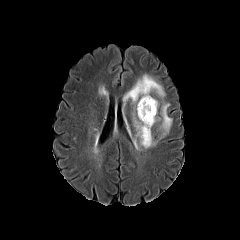
FLAIR MR.
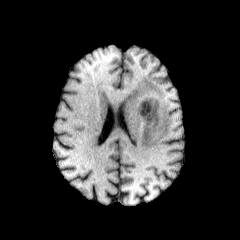
Same slice, T1-weighted MR image.
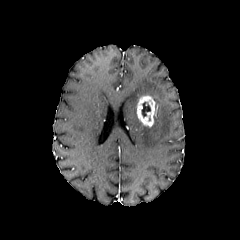
Same slice, post-contrast T1-weighted MR image.
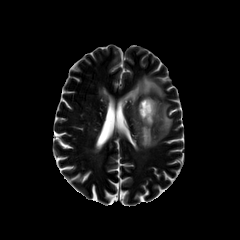
T2-weighted MR.
Axial view, Brain
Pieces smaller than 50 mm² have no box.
The largest peritumoral edema region lies within (123, 74, 172, 149). The largest necrotic tumor core region is bounded by (142, 102, 150, 116). The enhancing tumor is at (137, 95, 157, 126).